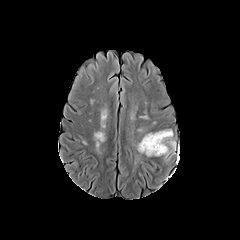
FLAIR MR image.
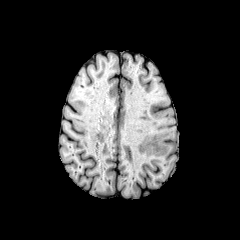
T1-weighted MR.
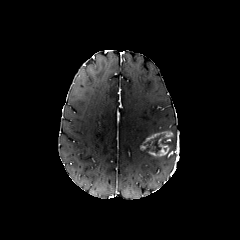
Post-contrast T1-weighted MR.
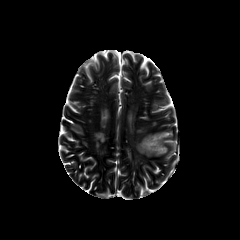
Same slice, T2-weighted magnetic resonance.
Brain
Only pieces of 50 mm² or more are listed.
{
  "necrotic_tumor_core": [
    "[x1=147, y1=134, x2=164, y2=152]"
  ],
  "peritumoral_edema": [
    "[x1=137, y1=133, x2=151, y2=156]",
    "[x1=168, y1=141, x2=176, y2=150]"
  ],
  "enhancing_tumor": [
    "[x1=140, y1=131, x2=172, y2=156]"
  ]
}